Brain. Image size 240x240.
FLAIR MRI.
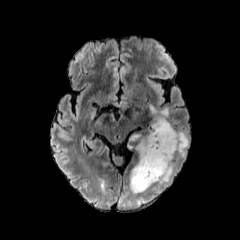
T1-weighted MR image.
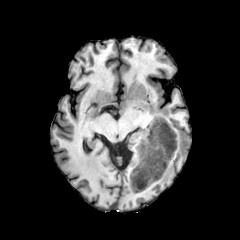
Post-contrast T1-weighted MR.
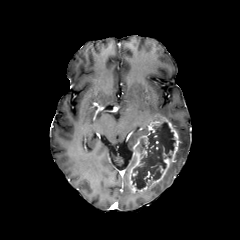
T2-weighted MR image.
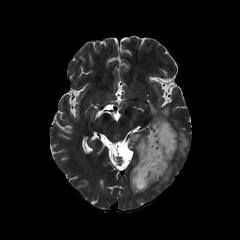
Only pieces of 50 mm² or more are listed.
necrotic tumor core: [131, 122, 175, 189] | peritumoral edema: [130, 134, 141, 140], [158, 162, 174, 184], [159, 107, 169, 118], [176, 130, 189, 158] | enhancing tumor: [129, 115, 179, 192]